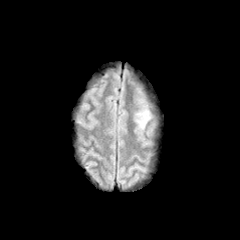
FLAIR MR.
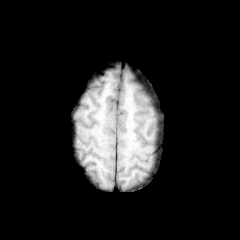
T1-weighted MR image of the same slice.
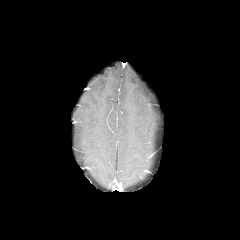
Post-contrast T1-weighted MRI of the same slice.
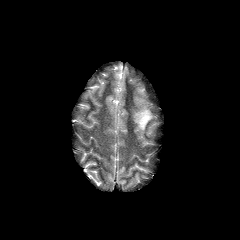
T2-weighted magnetic resonance.
Axial slice; Brain; Image size 240x240
peritumoral edema = 138,110,150,128